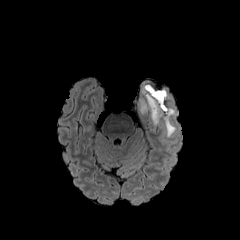
FLAIR MR image.
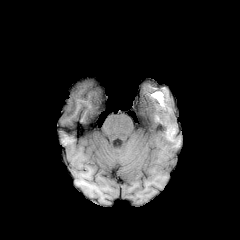
T1-weighted magnetic resonance.
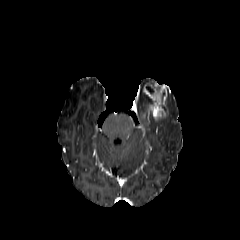
Post-contrast T1-weighted MR image of the same slice.
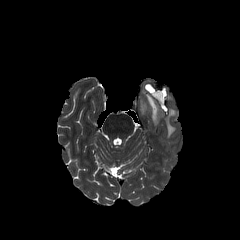
T2-weighted magnetic resonance.
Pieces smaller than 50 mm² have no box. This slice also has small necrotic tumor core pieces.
enhancing tumor = (141, 84, 167, 120)
peritumoral edema = (162, 108, 177, 136)